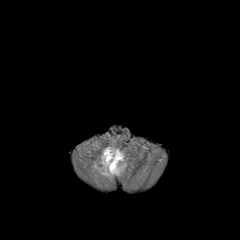
FLAIR MR.
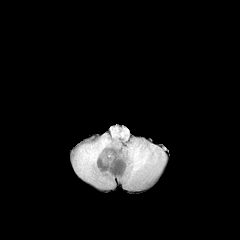
T1-weighted magnetic resonance.
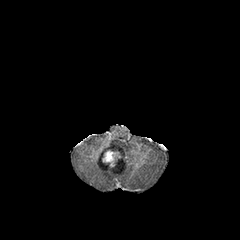
Post-contrast T1-weighted MRI of the same slice.
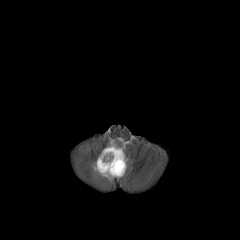
T2-weighted magnetic resonance of the same slice.
Axial plane
The enhancing tumor is bounded by (x1=101, y1=148, x2=121, y2=170). The peritumoral edema appears at (x1=92, y1=139, x2=127, y2=180).